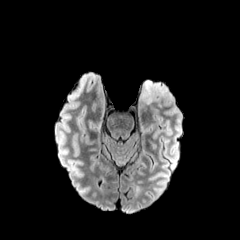
FLAIR MR image.
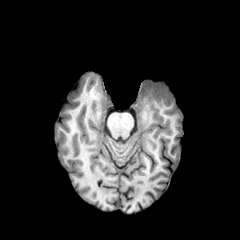
T1-weighted MR image of the same slice.
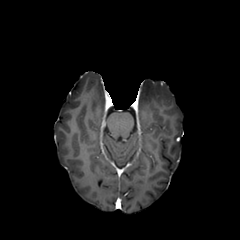
Post-contrast T1-weighted MRI of the same slice.
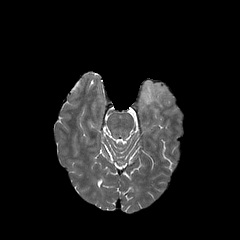
Same slice, T2-weighted MR.
Head. 240x240 px.
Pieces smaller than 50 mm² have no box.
The largest peritumoral edema region is located at <box>141,80,167,104</box>.